Brain. Image width 240 mm, 1.00 mm slice spacing. Axial slice. 240x240.
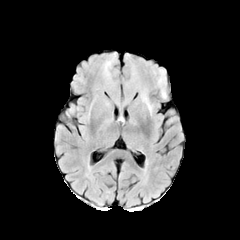
FLAIR MRI.
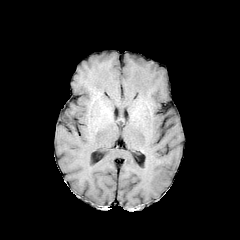
T1-weighted MR image.
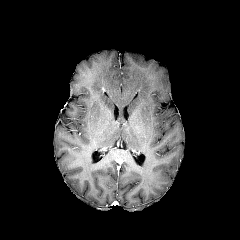
Post-contrast T1-weighted MR of the same slice.
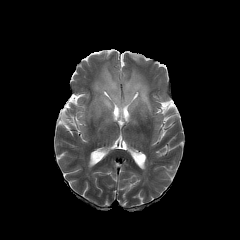
Same slice, T2-weighted magnetic resonance.
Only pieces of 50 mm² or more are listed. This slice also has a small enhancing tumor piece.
<segmentation>
  <peritumoral_edema>region(102, 98, 111, 108); region(94, 60, 152, 114); region(157, 70, 166, 98)</peritumoral_edema>
</segmentation>